240x240 px. Brain.
FLAIR MR.
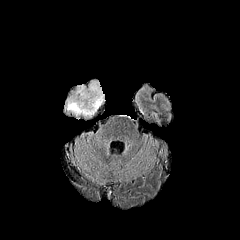
T1-weighted MRI.
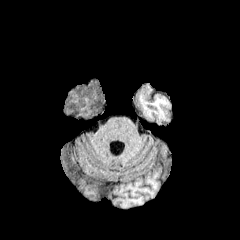
Post-contrast T1-weighted MRI.
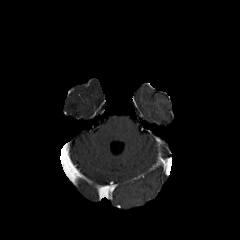
T2-weighted MRI.
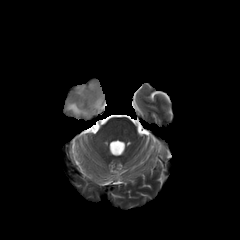
The peritumoral edema is bounded by [65, 81, 104, 116].